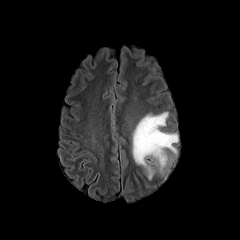
FLAIR MR image.
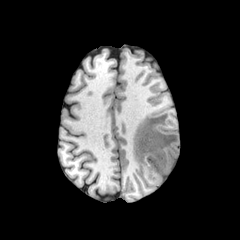
T1-weighted MRI.
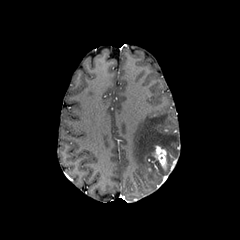
Same slice, post-contrast T1-weighted MR image.
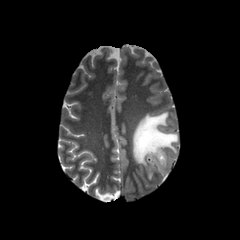
T2-weighted MRI.
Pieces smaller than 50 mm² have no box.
The largest peritumoral edema region is bounded by <bbox>132, 112, 178, 179</bbox>. The largest enhancing tumor region lies within <bbox>152, 145, 167, 170</bbox>.